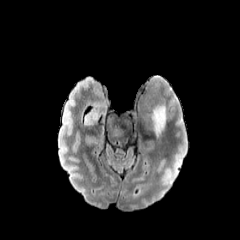
FLAIR MR image.
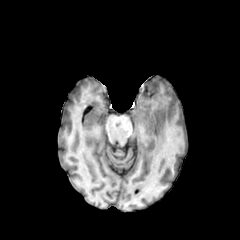
T1-weighted MR image of the same slice.
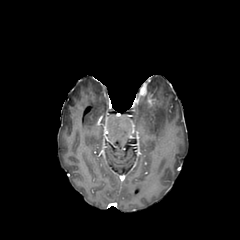
Post-contrast T1-weighted magnetic resonance.
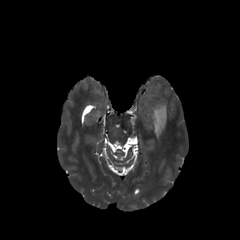
T2-weighted MRI of the same slice.
The peritumoral edema appears at region(151, 103, 166, 137).